Axial view, Slice 117/155
FLAIR MR image.
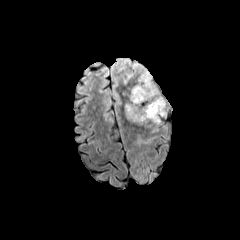
T1-weighted MRI.
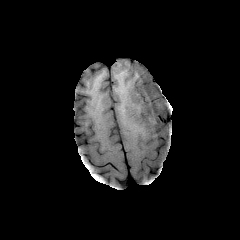
Post-contrast T1-weighted magnetic resonance.
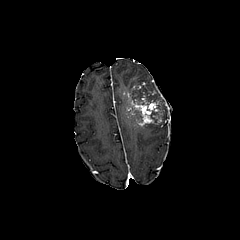
T2-weighted MRI.
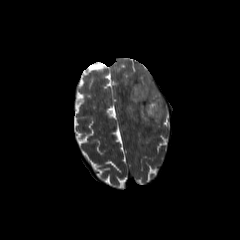
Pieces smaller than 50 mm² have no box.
<segmentation>
  <necrotic_tumor_core>rect(136, 110, 142, 120); rect(131, 84, 167, 121)</necrotic_tumor_core>
  <enhancing_tumor>rect(133, 82, 148, 88); rect(124, 92, 166, 125)</enhancing_tumor>
  <peritumoral_edema>rect(138, 71, 155, 85); rect(121, 72, 134, 84)</peritumoral_edema>
</segmentation>